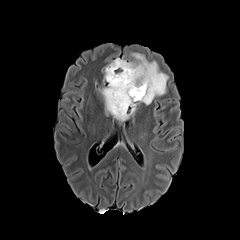
FLAIR magnetic resonance.
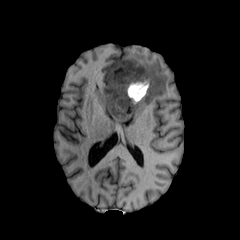
T1-weighted MRI.
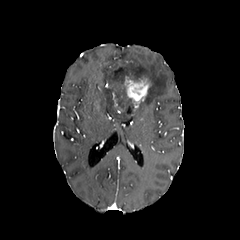
Post-contrast T1-weighted MR of the same slice.
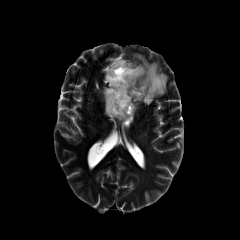
T2-weighted magnetic resonance.
Brain. Axial view.
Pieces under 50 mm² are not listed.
peritumoral edema: x1=97, y1=86, x2=136, y2=124; x1=127, y1=52, x2=170, y2=105; x1=101, y1=57, x2=120, y2=84
enhancing tumor: x1=122, y1=76, x2=148, y2=108
necrotic tumor core: x1=108, y1=61, x2=131, y2=105